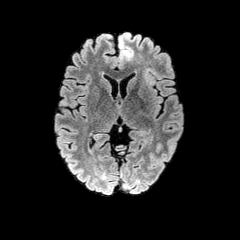
FLAIR magnetic resonance.
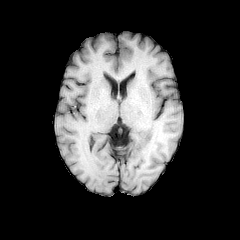
T1-weighted MR.
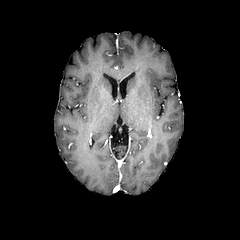
Post-contrast T1-weighted MR image.
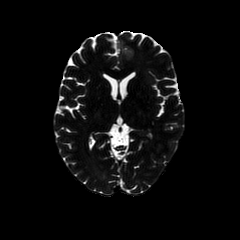
T2-weighted MR image.
Brain. Axial slice.
Findings:
• peritumoral edema: rect(118, 32, 133, 61)